Slice index 61.
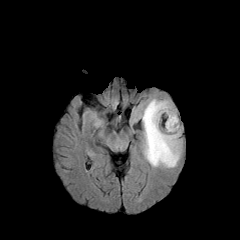
FLAIR MR image.
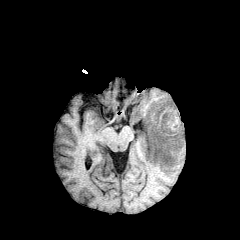
T1-weighted MR image.
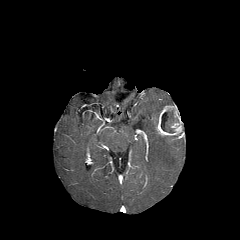
Post-contrast T1-weighted MRI.
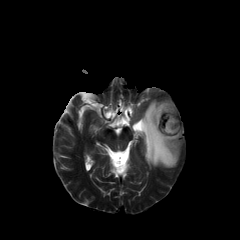
T2-weighted MRI.
{"necrotic_tumor_core": ["[161,110,178,133]"], "peritumoral_edema": ["[140,99,181,167]"], "enhancing_tumor": ["[152,105,182,140]"]}